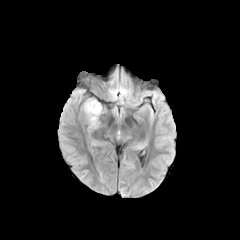
FLAIR MR.
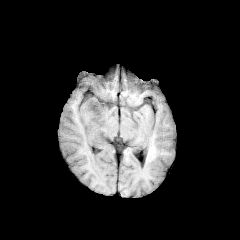
T1-weighted MR.
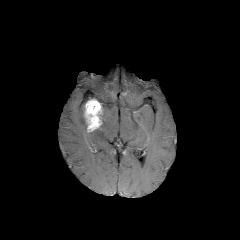
Post-contrast T1-weighted MR of the same slice.
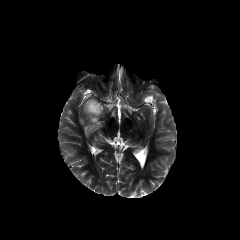
T2-weighted MR.
Head, 240x240
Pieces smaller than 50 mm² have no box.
The largest peritumoral edema region is located at [78,107,87,130]. The enhancing tumor lies within [82,98,105,132].